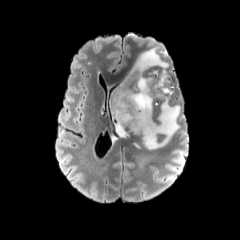
FLAIR MR.
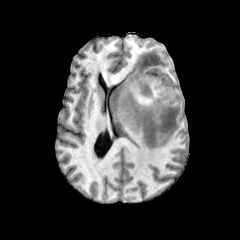
T1-weighted magnetic resonance.
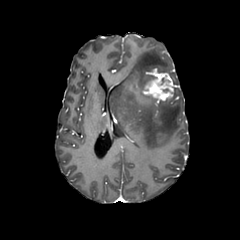
Post-contrast T1-weighted MR.
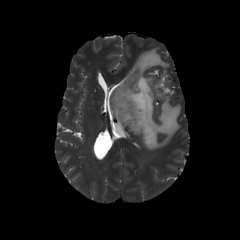
T2-weighted MRI.
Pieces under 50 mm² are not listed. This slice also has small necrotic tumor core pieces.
peritumoral_edema:
  - 110:47:180:149
enhancing_tumor:
  - 142:73:175:100